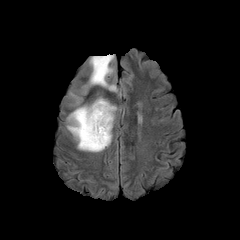
FLAIR MR image.
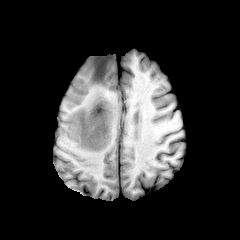
T1-weighted MRI of the same slice.
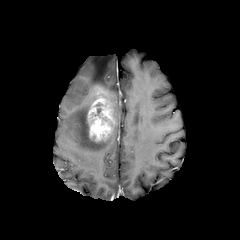
Same slice, post-contrast T1-weighted magnetic resonance.
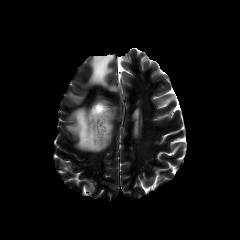
T2-weighted magnetic resonance.
Brain | Axial view
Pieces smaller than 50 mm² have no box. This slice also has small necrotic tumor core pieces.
peritumoral edema: rect(89, 54, 116, 90); rect(67, 106, 112, 152)
enhancing tumor: rect(86, 85, 115, 142)